Brain
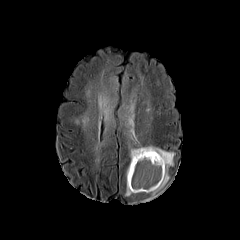
FLAIR MR.
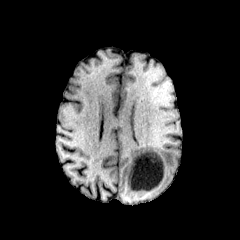
T1-weighted magnetic resonance.
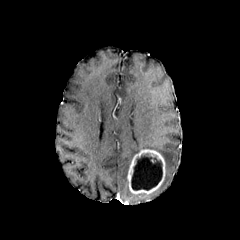
Post-contrast T1-weighted MR image.
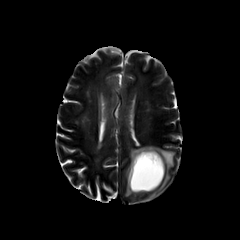
T2-weighted MR of the same slice.
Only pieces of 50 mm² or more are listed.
<segmentation>
  <peritumoral_edema>[125,180,132,196], [103,96,112,129], [130,146,175,198], [119,103,128,131]</peritumoral_edema>
  <necrotic_tumor_core>[131,154,162,190]</necrotic_tumor_core>
  <enhancing_tumor>[127,149,165,193]</enhancing_tumor>
</segmentation>